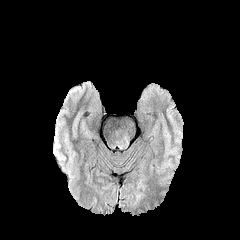
FLAIR MR.
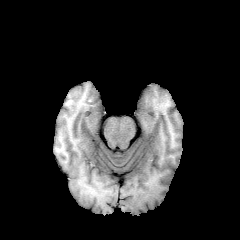
T1-weighted MR.
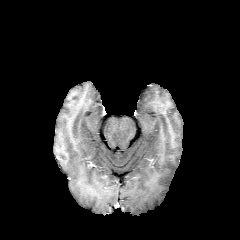
Post-contrast T1-weighted MR of the same slice.
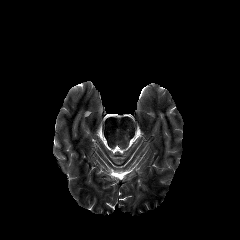
T2-weighted MR image of the same slice.
peritumoral edema: 117,136,128,148